240x240 px, Slice index 84
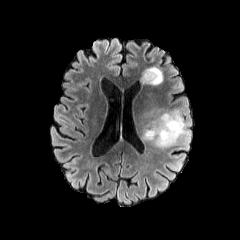
FLAIR magnetic resonance.
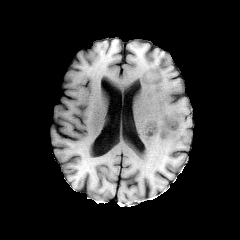
T1-weighted MR image.
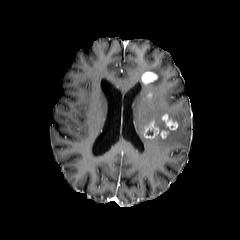
Post-contrast T1-weighted MRI.
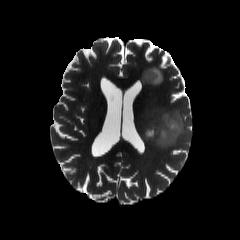
T2-weighted magnetic resonance.
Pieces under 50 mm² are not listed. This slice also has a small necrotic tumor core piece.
The 2 largest enhancing tumor regions appear at {"x1": 141, "y1": 72, "x2": 157, "y2": 84}, {"x1": 143, "y1": 114, "x2": 178, "y2": 138}. 2 peritumoral edema regions appear at {"x1": 141, "y1": 107, "x2": 190, "y2": 147}, {"x1": 142, "y1": 66, "x2": 162, "y2": 84}.